Image size 240x240 | Slice 37/155
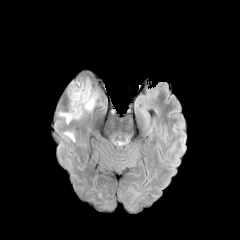
FLAIR MR image.
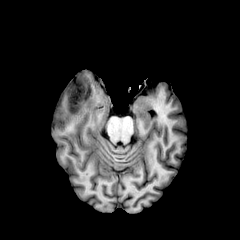
Same slice, T1-weighted MR.
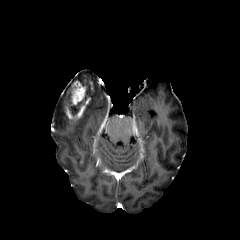
Post-contrast T1-weighted MRI.
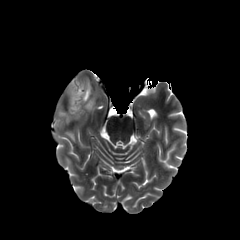
Same slice, T2-weighted MRI.
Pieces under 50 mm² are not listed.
peritumoral_edema:
  - (64,132,75,141)
  - (85,92,98,110)
  - (58,112,70,123)
enhancing_tumor:
  - (63,78,93,120)
necrotic_tumor_core:
  - (70,82,90,115)